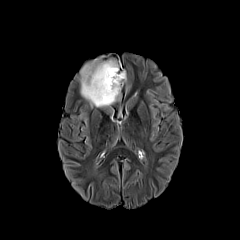
FLAIR MR image.
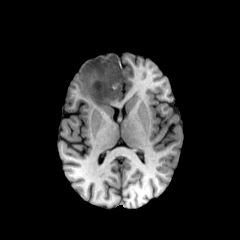
T1-weighted MR image.
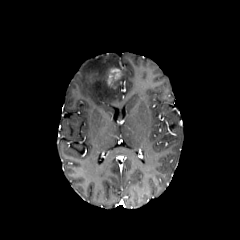
Post-contrast T1-weighted MR.
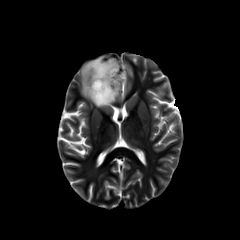
T2-weighted MR image.
Head | 240x240 px
The peritumoral edema is at box=[79, 56, 127, 107]. The enhancing tumor lies within box=[105, 68, 121, 86].